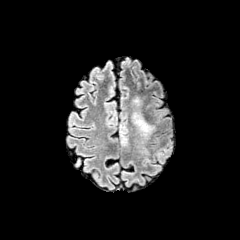
FLAIR MR image.
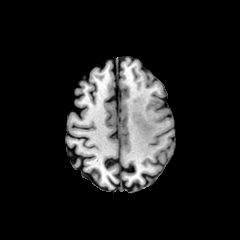
T1-weighted magnetic resonance.
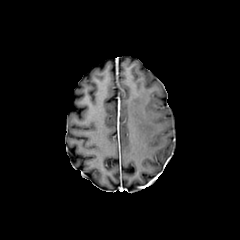
Post-contrast T1-weighted MR image.
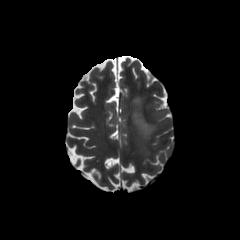
T2-weighted MRI.
Axial view | Brain
peritumoral edema: 131:97:154:138